FLAIR magnetic resonance.
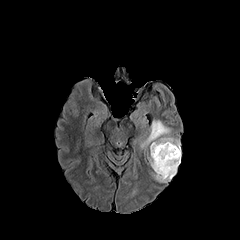
T1-weighted MR.
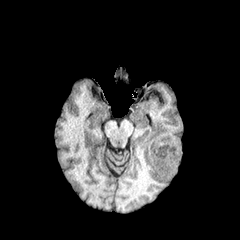
Post-contrast T1-weighted MR image.
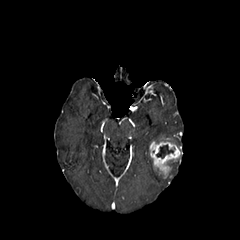
T2-weighted MR image.
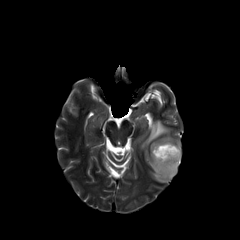
240x240 px; Axial slice
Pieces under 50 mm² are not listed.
peritumoral_edema:
  - 153:161:180:182
  - 140:120:180:149
enhancing_tumor:
  - 150:137:181:178
necrotic_tumor_core:
  - 156:145:173:158